Head. Axial slice. 240x240 px.
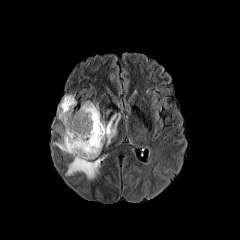
FLAIR MR.
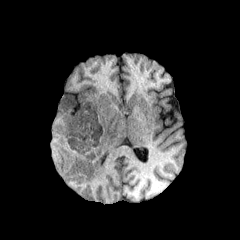
T1-weighted MR.
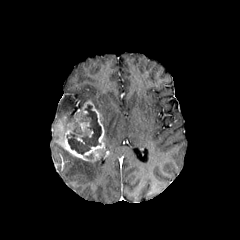
Post-contrast T1-weighted MRI.
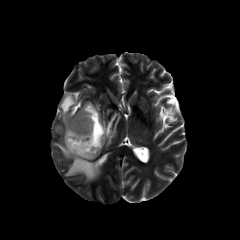
T2-weighted magnetic resonance.
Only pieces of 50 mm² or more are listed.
The 2 largest necrotic tumor core regions are bounded by (66, 113, 74, 123), (67, 104, 101, 154). The largest enhancing tumor region appears at (56, 101, 104, 161). The 4 largest peritumoral edema regions are located at (57, 95, 76, 119), (65, 156, 103, 179), (54, 142, 71, 154), (101, 113, 120, 145).